FLAIR MR image.
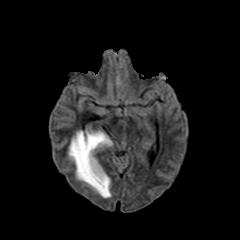
T1-weighted MR image.
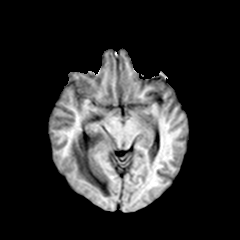
Post-contrast T1-weighted MR image.
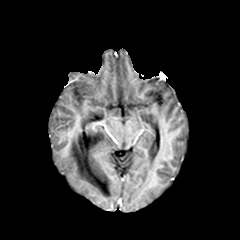
T2-weighted MR image.
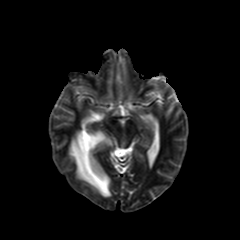
240x240
peritumoral_edema:
  - {"x1": 68, "y1": 130, "x2": 112, "y2": 197}